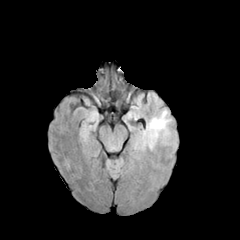
FLAIR MR image.
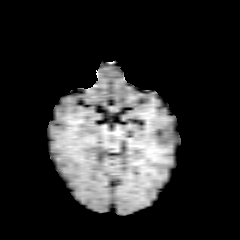
T1-weighted MR.
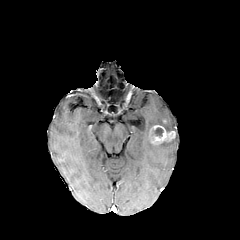
Same slice, post-contrast T1-weighted MR image.
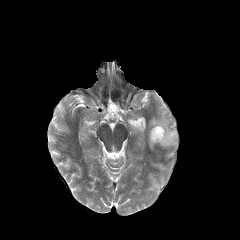
T2-weighted MR.
Image size 240x240
necrotic tumor core = (left=152, top=127, right=163, bottom=136)
enhancing tumor = (left=150, top=125, right=175, bottom=142)
peritumoral edema = (left=142, top=110, right=175, bottom=149)